FLAIR MRI.
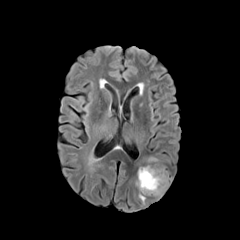
T1-weighted magnetic resonance.
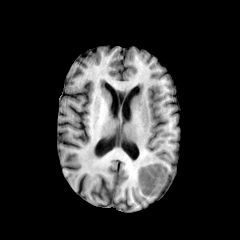
Post-contrast T1-weighted MRI.
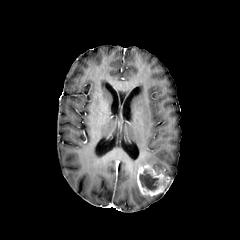
T2-weighted MR image.
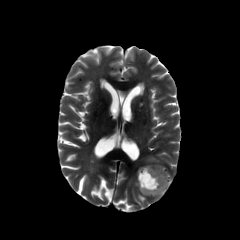
240x240
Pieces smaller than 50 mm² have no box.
Segmented structures:
- peritumoral edema: {"x1": 146, "y1": 156, "x2": 158, "y2": 162}
- enhancing tumor: {"x1": 137, "y1": 164, "x2": 170, "y2": 196}
- necrotic tumor core: {"x1": 139, "y1": 170, "x2": 159, "y2": 190}